FLAIR magnetic resonance.
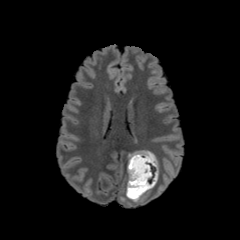
T1-weighted MRI.
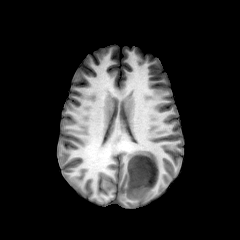
Post-contrast T1-weighted MR image.
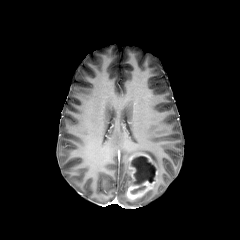
T2-weighted MR image.
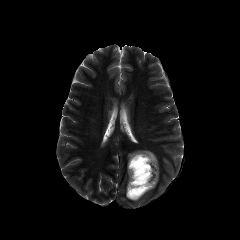
Brain, Axial plane
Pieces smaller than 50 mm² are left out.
enhancing tumor: bounding box <bbox>126, 152, 158, 199</bbox>
peritumoral edema: bounding box <bbox>134, 150, 158, 169</bbox>
necrotic tumor core: bounding box <bbox>131, 156, 156, 184</bbox>, <bbox>131, 186, 145, 194</bbox>